FLAIR magnetic resonance.
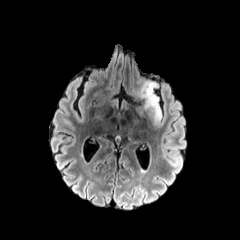
T1-weighted MRI.
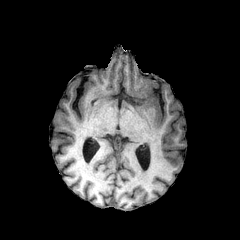
Post-contrast T1-weighted magnetic resonance.
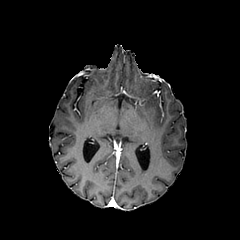
T2-weighted MR.
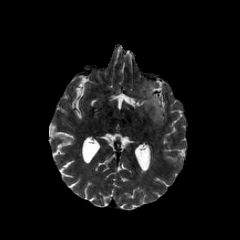
Axial slice
The peritumoral edema is bounded by bbox(137, 80, 162, 124).